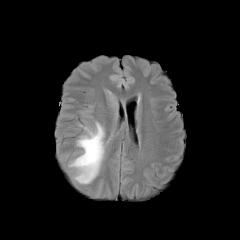
FLAIR MR.
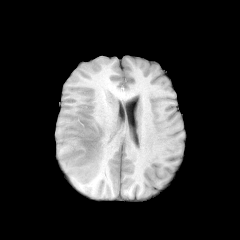
Same slice, T1-weighted magnetic resonance.
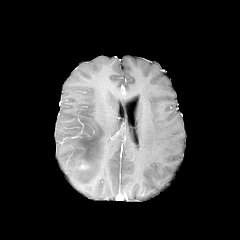
Same slice, post-contrast T1-weighted MR image.
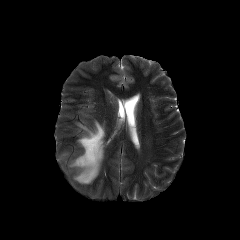
Same slice, T2-weighted magnetic resonance.
Head.
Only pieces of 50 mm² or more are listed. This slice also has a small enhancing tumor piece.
The peritumoral edema is located at box(68, 121, 105, 184).